FLAIR magnetic resonance.
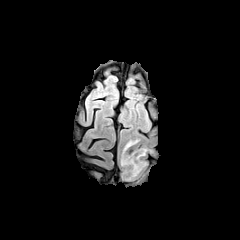
T1-weighted MRI.
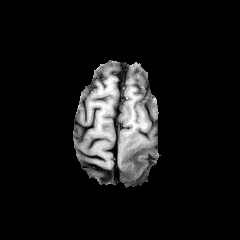
Post-contrast T1-weighted magnetic resonance.
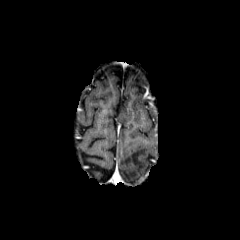
T2-weighted MR.
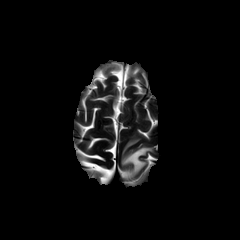
Head
Segmented structures:
- peritumoral edema: 121:140:150:180